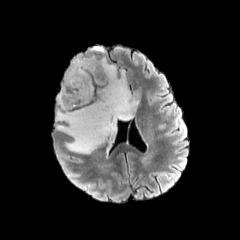
FLAIR MR image.
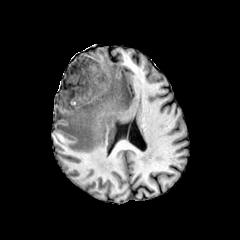
T1-weighted MR.
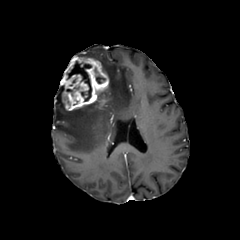
Post-contrast T1-weighted MR of the same slice.
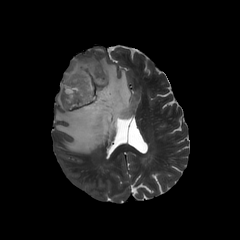
Same slice, T2-weighted MR.
Head; Axial plane
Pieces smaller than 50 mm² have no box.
peritumoral_edema:
  - [56,57,138,153]
enhancing_tumor:
  - [60,56,109,110]
  - [98,97,107,108]
necrotic_tumor_core:
  - [96,76,104,83]
  - [67,61,91,101]